FLAIR MRI.
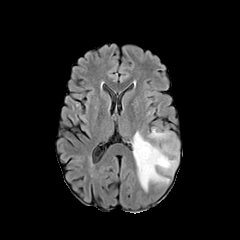
T1-weighted MRI.
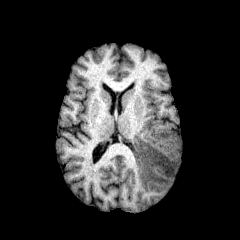
Post-contrast T1-weighted magnetic resonance.
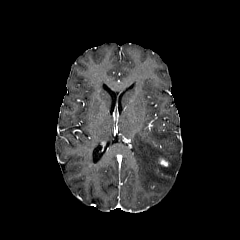
T2-weighted MR image.
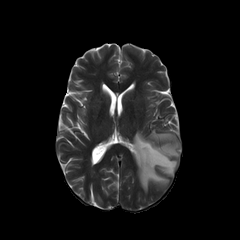
Axial view, Brain
peritumoral_edema:
  - box(132, 129, 179, 191)
enhancing_tumor:
  - box(159, 158, 168, 166)